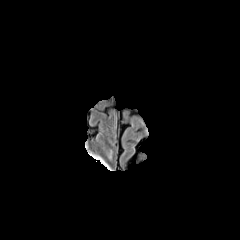
FLAIR magnetic resonance.
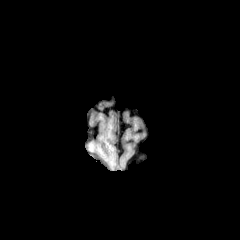
Same slice, T1-weighted MRI.
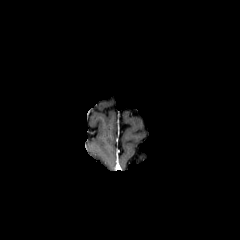
Post-contrast T1-weighted MR image.
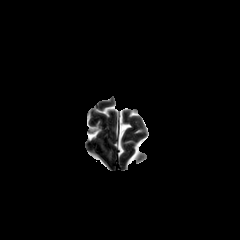
T2-weighted magnetic resonance of the same slice.
Segmented structures:
- peritumoral edema: <box>89,153,109,169</box>